Head | Slice 92/155 | 240x240 px
FLAIR MR image.
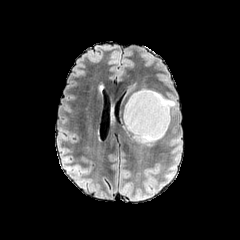
T1-weighted MR.
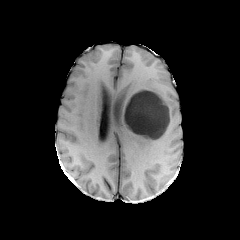
Post-contrast T1-weighted MR image.
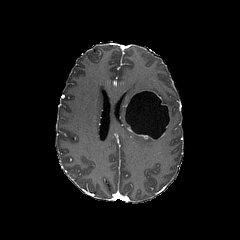
T2-weighted MR image.
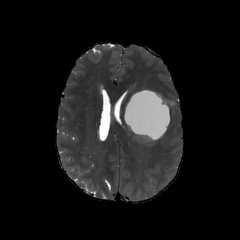
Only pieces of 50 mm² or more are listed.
necrotic tumor core: bounding box (125, 91, 168, 138)
peritumoral edema: bounding box (162, 97, 174, 105), (134, 134, 153, 144)
enhancing tumor: bounding box (124, 90, 168, 132), (134, 133, 157, 140)